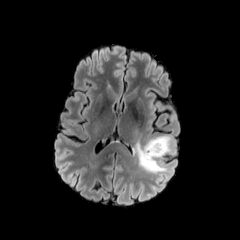
FLAIR MRI.
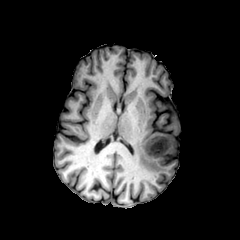
T1-weighted MRI.
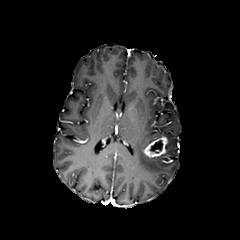
Post-contrast T1-weighted magnetic resonance of the same slice.
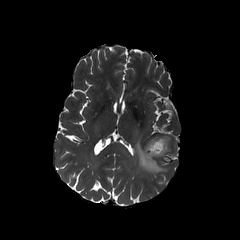
T2-weighted MR image.
Head
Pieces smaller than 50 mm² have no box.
Segmented structures:
- peritumoral edema: box(133, 135, 174, 173)
- necrotic tumor core: box(149, 140, 163, 153)
- enhancing tumor: box(143, 136, 167, 157)